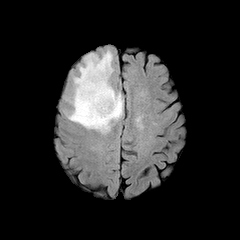
FLAIR MR.
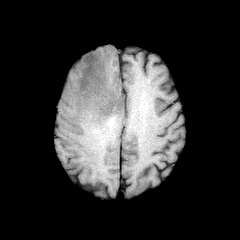
T1-weighted MRI of the same slice.
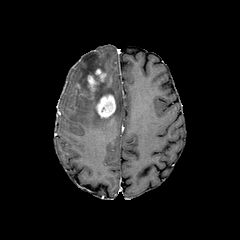
Post-contrast T1-weighted MR image of the same slice.
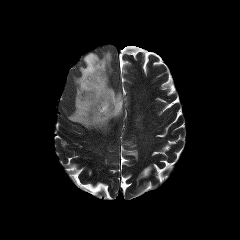
T2-weighted MRI.
240x240 | Brain | Axial plane
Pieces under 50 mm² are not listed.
The 2 largest enhancing tumor regions appear at 87, 69, 106, 99; 95, 94, 115, 117. The peritumoral edema is at 68, 50, 122, 131.